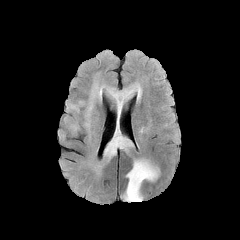
FLAIR MR image.
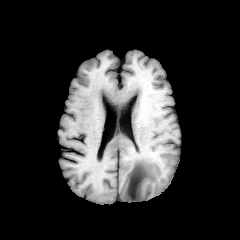
Same slice, T1-weighted magnetic resonance.
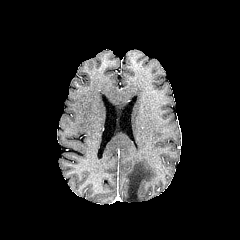
Post-contrast T1-weighted magnetic resonance.
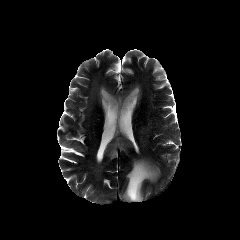
T2-weighted magnetic resonance.
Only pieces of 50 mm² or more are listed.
{
  "peritumoral_edema": [
    "box=[122, 158, 159, 202]",
    "box=[104, 84, 141, 161]"
  ]
}